Image size 240x240 | Slice 90 of 155 | Brain
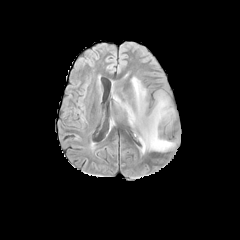
FLAIR magnetic resonance.
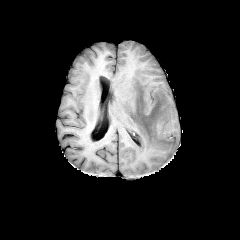
Same slice, T1-weighted MR image.
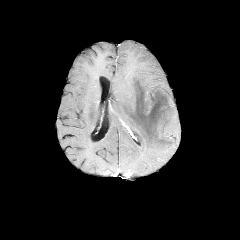
Same slice, post-contrast T1-weighted MR.
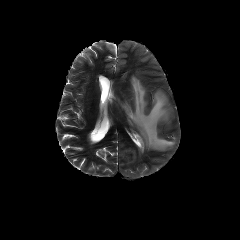
Same slice, T2-weighted MR.
The peritumoral edema is located at box=[113, 76, 175, 153].